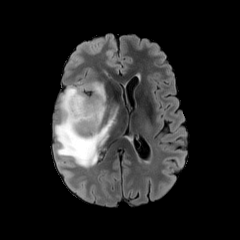
FLAIR MR image.
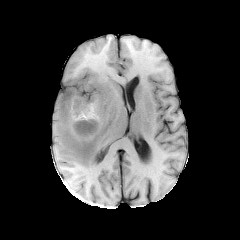
T1-weighted MRI.
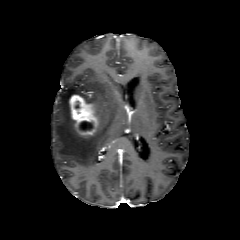
Post-contrast T1-weighted MR of the same slice.
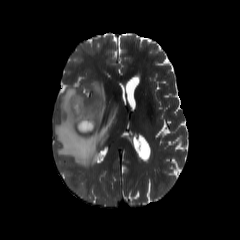
T2-weighted magnetic resonance of the same slice.
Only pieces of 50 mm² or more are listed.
The peritumoral edema is bounded by bbox=[54, 81, 116, 168]. The largest necrotic tumor core region is bounded by bbox=[78, 121, 94, 131]. The largest enhancing tumor region lies within bbox=[69, 94, 99, 135].